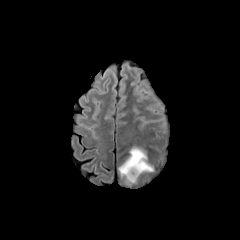
FLAIR magnetic resonance.
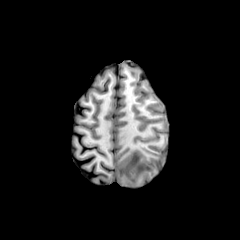
Same slice, T1-weighted MR.
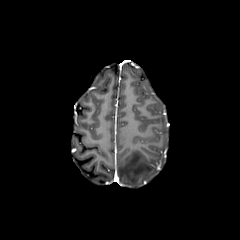
Same slice, post-contrast T1-weighted MR.
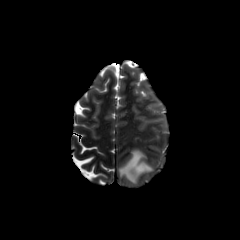
T2-weighted MRI of the same slice.
Brain | 240x240 px
peritumoral edema: bounding box 118, 148, 153, 183